FLAIR MR image.
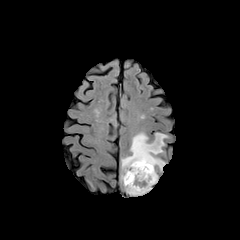
T1-weighted MRI.
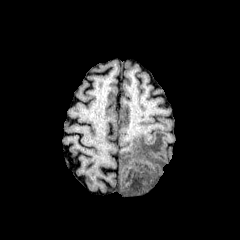
Post-contrast T1-weighted MRI.
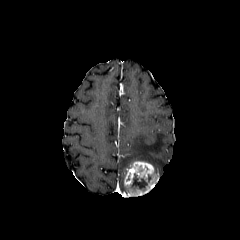
T2-weighted MRI.
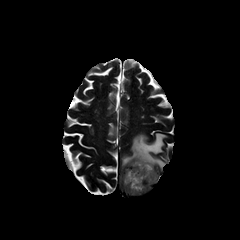
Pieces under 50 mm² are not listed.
necrotic tumor core — bbox=[131, 174, 147, 190]
peritumoral edema — bbox=[121, 132, 167, 173]
enhancing tumor — bbox=[124, 161, 158, 196]